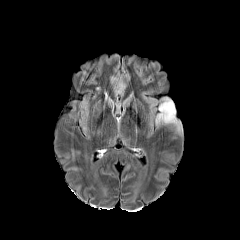
FLAIR magnetic resonance.
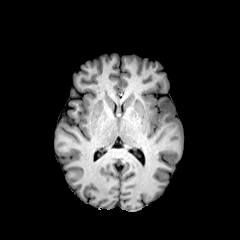
T1-weighted MRI.
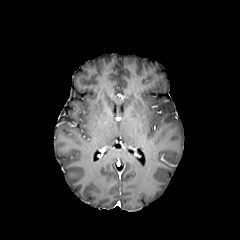
Same slice, post-contrast T1-weighted magnetic resonance.
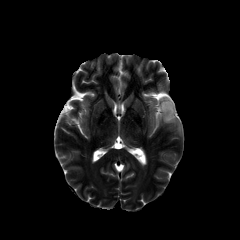
Same slice, T2-weighted magnetic resonance.
Head. Image size 240x240.
<segmentation>
  <peritumoral_edema>[156, 97, 181, 131]</peritumoral_edema>
</segmentation>